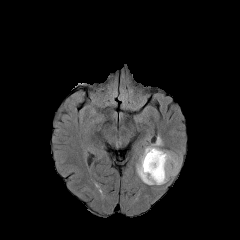
FLAIR magnetic resonance.
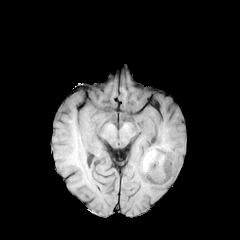
Same slice, T1-weighted magnetic resonance.
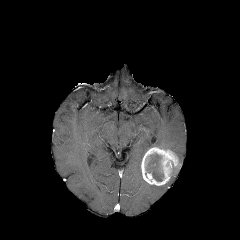
Same slice, post-contrast T1-weighted MR image.
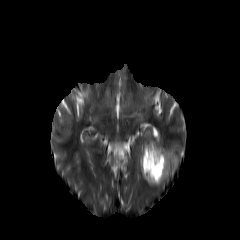
T2-weighted MR image.
Head | Image size 240x240
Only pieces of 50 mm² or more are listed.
Annotated regions:
* peritumoral edema: (136,134,162,184)
* necrotic tumor core: (145,153,163,181)
* enhancing tumor: (141,147,180,185)